FLAIR MRI.
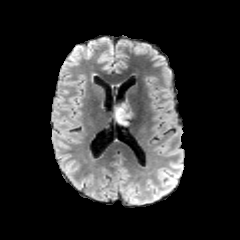
T1-weighted magnetic resonance.
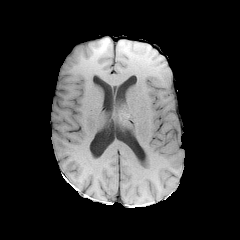
Post-contrast T1-weighted magnetic resonance.
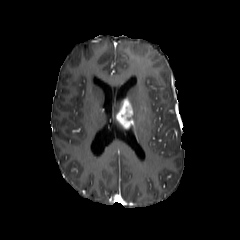
T2-weighted magnetic resonance.
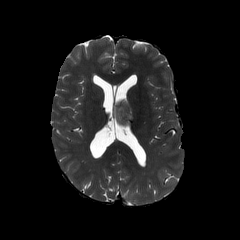
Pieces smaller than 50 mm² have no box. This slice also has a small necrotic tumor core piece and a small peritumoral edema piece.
The enhancing tumor lies within {"x1": 116, "y1": 97, "x2": 134, "y2": 129}.